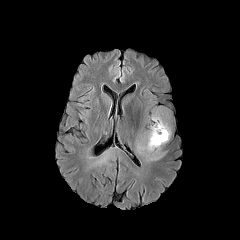
FLAIR MR image.
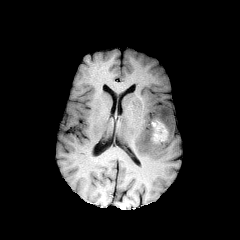
T1-weighted MR.
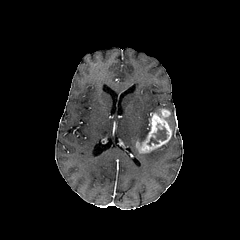
Post-contrast T1-weighted MR.
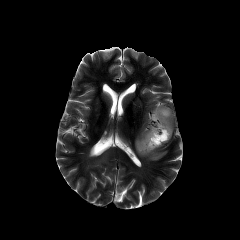
Same slice, T2-weighted MR image.
Axial plane, Brain
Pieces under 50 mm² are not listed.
enhancing tumor — <box>136,108,172,153</box>
necrotic tumor core — <box>149,128,166,144</box>
peritumoral edema — <box>139,147,164,160</box>, <box>136,131,148,141</box>